Head; Slice index 66
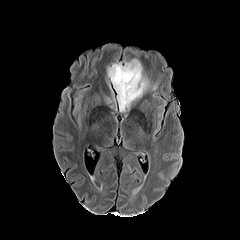
FLAIR MR.
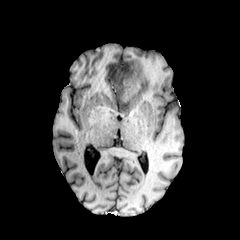
Same slice, T1-weighted MRI.
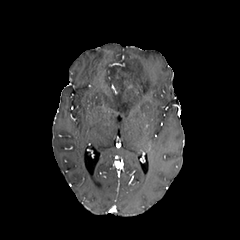
Post-contrast T1-weighted MRI.
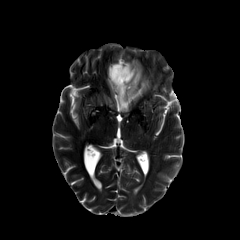
T2-weighted MRI.
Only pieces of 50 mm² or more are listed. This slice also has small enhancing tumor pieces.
peritumoral edema: <bbox>106, 57, 150, 112</bbox> | necrotic tumor core: <bbox>111, 65, 123, 76</bbox>